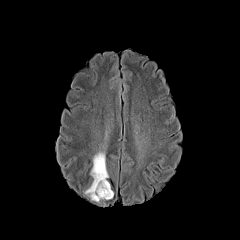
FLAIR magnetic resonance.
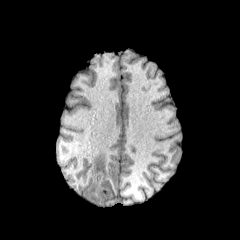
T1-weighted MRI.
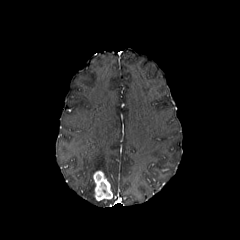
Same slice, post-contrast T1-weighted MR.
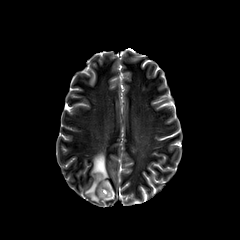
T2-weighted MR of the same slice.
Image size 240x240. Axial slice.
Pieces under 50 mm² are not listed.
peritumoral edema: region(90, 151, 108, 179); region(84, 179, 100, 202) | enhancing tumor: region(93, 171, 112, 200) | necrotic tumor core: region(96, 181, 110, 198)